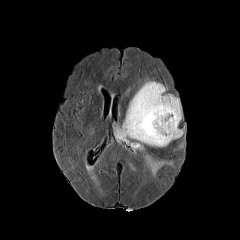
FLAIR MR image.
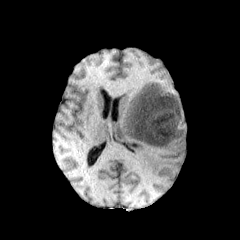
Same slice, T1-weighted MR.
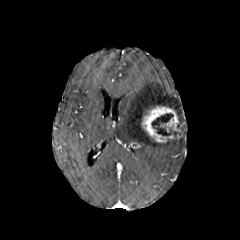
Post-contrast T1-weighted magnetic resonance.
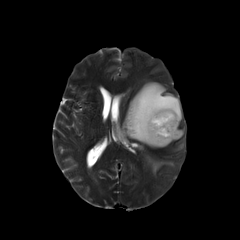
T2-weighted MRI.
240x240.
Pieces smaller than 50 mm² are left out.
• peritumoral edema: x1=115 y1=81 x2=182 y2=178
• enhancing tumor: x1=130 y1=142 x2=140 y2=148, x1=141 y1=105 x2=182 y2=143
• necrotic tumor core: x1=152 y1=114 x2=173 y2=136